FLAIR MR image.
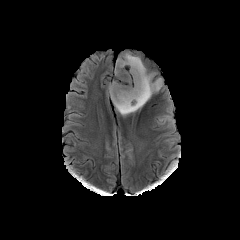
T1-weighted MR image.
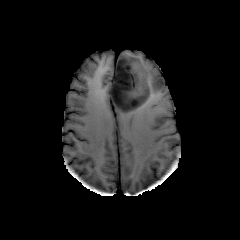
Post-contrast T1-weighted MRI.
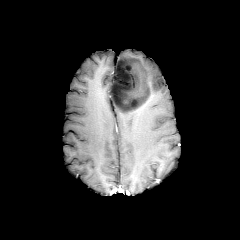
T2-weighted magnetic resonance.
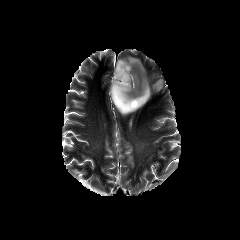
Head
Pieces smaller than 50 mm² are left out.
necrotic_tumor_core:
  - left=111, top=59, right=148, bottom=111
peritumoral_edema:
  - left=109, top=53, right=162, bottom=116